Image covers 240 mm x 240 mm | Head | Slice 113 of 155 | Axial view
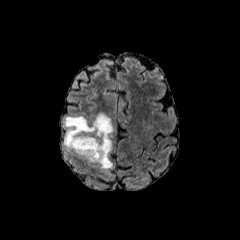
FLAIR magnetic resonance.
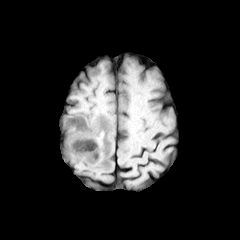
T1-weighted MR image.
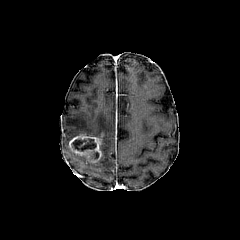
Same slice, post-contrast T1-weighted MR image.
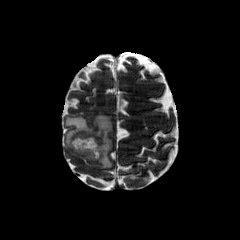
T2-weighted MR image.
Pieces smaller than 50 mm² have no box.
enhancing_tumor:
  - 69 134 102 162
necrotic_tumor_core:
  - 71 138 96 151
peritumoral_edema:
  - 64 113 113 169